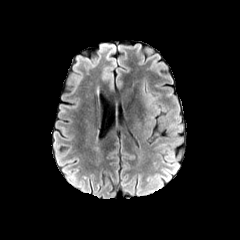
FLAIR magnetic resonance.
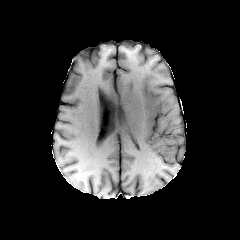
T1-weighted magnetic resonance.
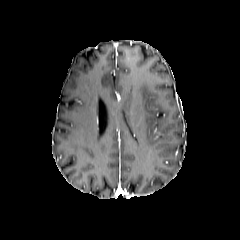
Post-contrast T1-weighted MRI.
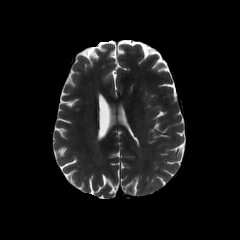
T2-weighted magnetic resonance of the same slice.
Axial plane
peritumoral_edema:
  - <bbox>142, 87, 159, 136</bbox>